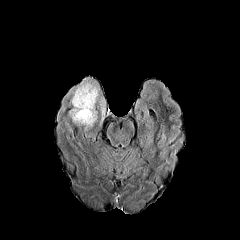
FLAIR MRI.
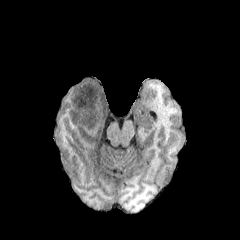
T1-weighted MRI.
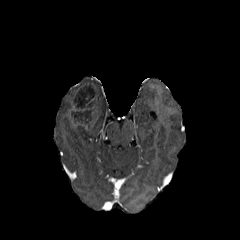
Post-contrast T1-weighted MR image.
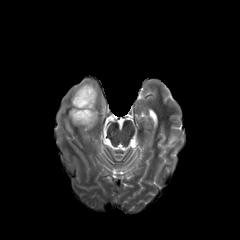
Same slice, T2-weighted magnetic resonance.
Axial view.
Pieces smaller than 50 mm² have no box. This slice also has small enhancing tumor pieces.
peritumoral edema: left=69, top=97, right=82, bottom=122; left=72, top=78, right=105, bottom=122 | necrotic tumor core: left=72, top=85, right=96, bottom=129